Brain, Slice index 88
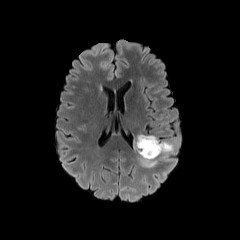
FLAIR MR image.
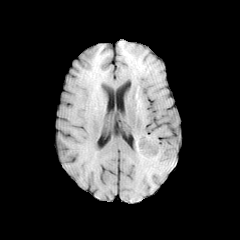
T1-weighted MR image of the same slice.
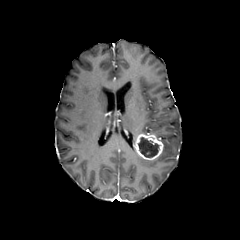
Post-contrast T1-weighted magnetic resonance of the same slice.
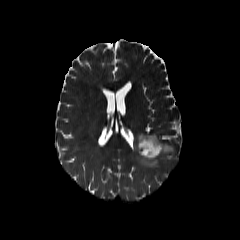
T2-weighted magnetic resonance.
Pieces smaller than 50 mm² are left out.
necrotic tumor core = [138,137,158,157]
enhancing tumor = [134,134,163,160]
peritumoral edema = [137,153,157,167], [159,141,173,158]